FLAIR magnetic resonance.
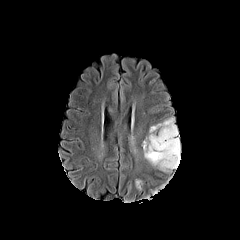
T1-weighted magnetic resonance.
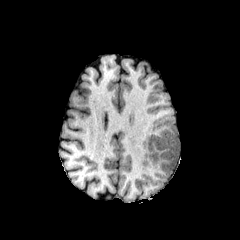
Post-contrast T1-weighted magnetic resonance.
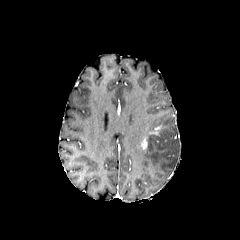
T2-weighted MR.
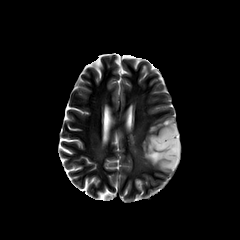
Brain | Axial slice
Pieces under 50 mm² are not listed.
Annotated regions:
- peritumoral edema: bbox(143, 117, 180, 172); bbox(134, 178, 143, 189)
- enhancing tumor: bbox(151, 125, 161, 134)